FLAIR MR image.
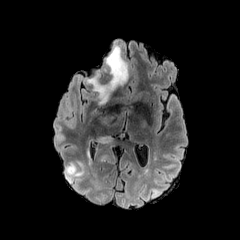
T1-weighted magnetic resonance.
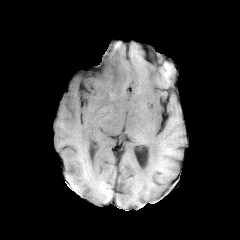
Post-contrast T1-weighted MR image.
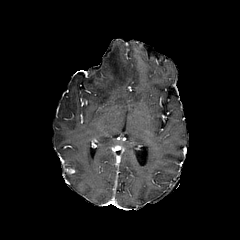
T2-weighted MR image.
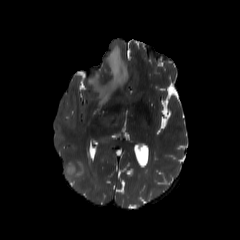
Head
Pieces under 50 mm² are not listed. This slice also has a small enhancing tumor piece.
peritumoral edema: bbox(64, 161, 84, 178); bbox(86, 43, 130, 105)